FLAIR MRI.
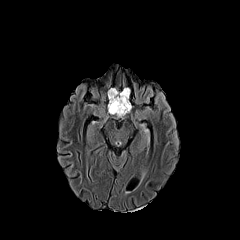
T1-weighted magnetic resonance.
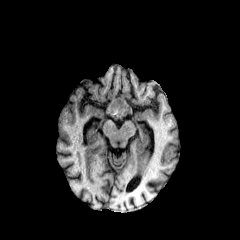
Post-contrast T1-weighted MR.
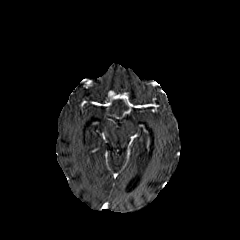
T2-weighted MR.
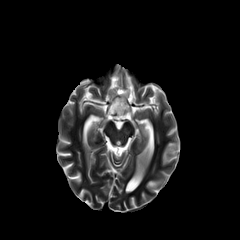
Brain
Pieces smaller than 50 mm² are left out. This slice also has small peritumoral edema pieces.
enhancing tumor at <bbox>108, 91, 130, 117</bbox>
necrotic tumor core at <bbox>109, 99, 128, 116</bbox>